Brain; Image width 240 mm, 1.00 mm slice spacing
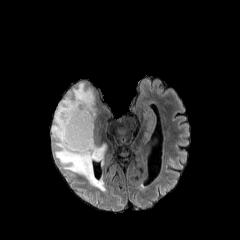
FLAIR MRI.
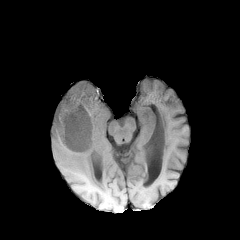
T1-weighted magnetic resonance.
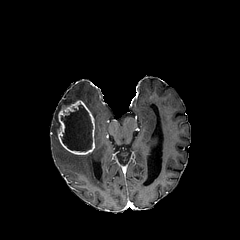
Same slice, post-contrast T1-weighted magnetic resonance.
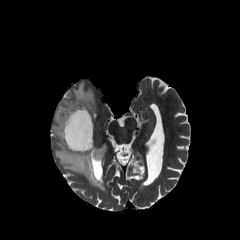
T2-weighted MRI.
necrotic_tumor_core:
  - [61, 104, 92, 151]
enhancing_tumor:
  - [57, 100, 94, 155]
peritumoral_edema:
  - [51, 82, 107, 190]